FLAIR MR image.
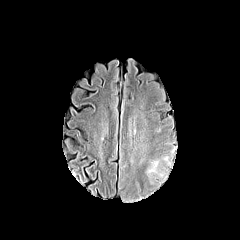
T1-weighted MRI.
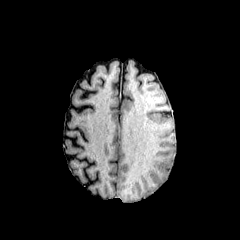
Post-contrast T1-weighted magnetic resonance.
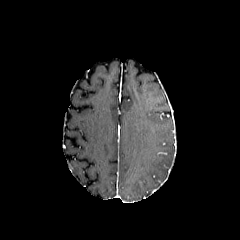
T2-weighted MR image.
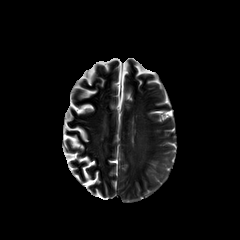
240x240. Axial plane. Head.
<segmentation>
  <peritumoral_edema>149,161,157,171</peritumoral_edema>
</segmentation>